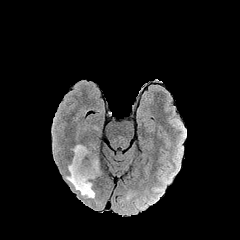
FLAIR MR.
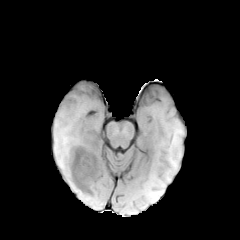
T1-weighted MRI.
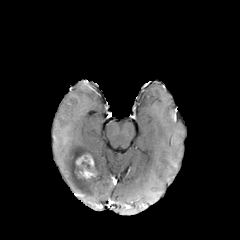
Same slice, post-contrast T1-weighted magnetic resonance.
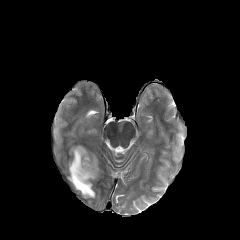
T2-weighted MRI of the same slice.
Axial view; 240x240
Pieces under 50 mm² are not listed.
{
  "enhancing_tumor": [
    "bbox=[79, 167, 96, 178]",
    "bbox=[74, 152, 94, 172]"
  ],
  "necrotic_tumor_core": [
    "bbox=[76, 161, 95, 177]"
  ],
  "peritumoral_edema": [
    "bbox=[67, 145, 95, 198]",
    "bbox=[91, 155, 98, 176]"
  ]
}